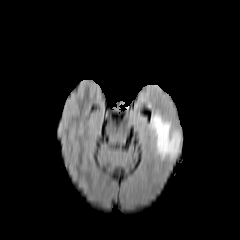
FLAIR MR.
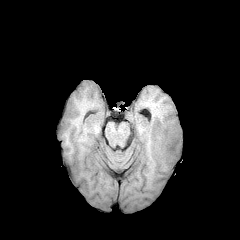
T1-weighted MR image.
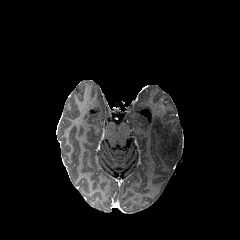
Post-contrast T1-weighted MR.
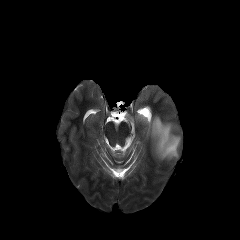
T2-weighted MRI.
240x240
Findings:
- peritumoral edema: (x1=148, y1=113, x2=180, y2=159)